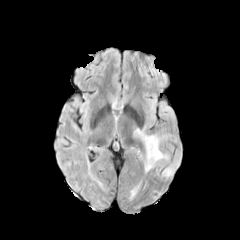
FLAIR MR.
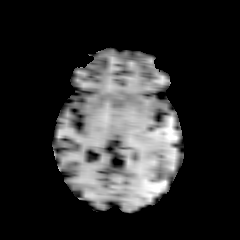
T1-weighted magnetic resonance.
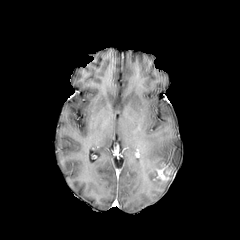
Post-contrast T1-weighted magnetic resonance.
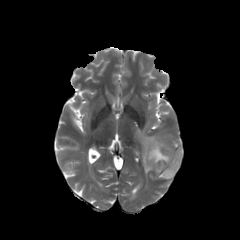
Same slice, T2-weighted magnetic resonance.
Axial view, Brain, 240x240
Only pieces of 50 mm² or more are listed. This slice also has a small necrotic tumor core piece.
2 peritumoral edema regions are located at region(169, 161, 178, 175); region(135, 128, 170, 172). The enhancing tumor is bounded by region(152, 165, 172, 180).